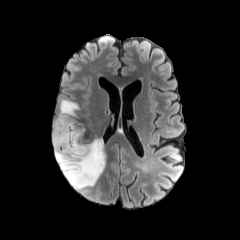
FLAIR MRI.
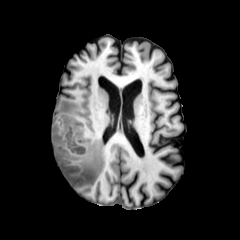
Same slice, T1-weighted magnetic resonance.
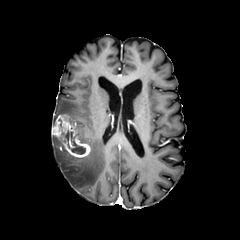
Post-contrast T1-weighted MRI.
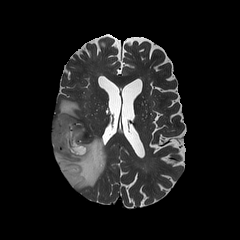
Same slice, T2-weighted MR image.
Axial slice | Image size 240x240 | Brain
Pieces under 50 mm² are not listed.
peritumoral edema at (left=52, top=135, right=105, bottom=190), (left=55, top=99, right=86, bottom=141)
enhancing tumor at (left=52, top=114, right=90, bottom=157)
necrotic tumor core at (left=65, top=129, right=85, bottom=154)